Slice 64/155 | Image size 240x240 | Axial plane
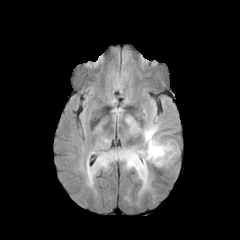
FLAIR MR.
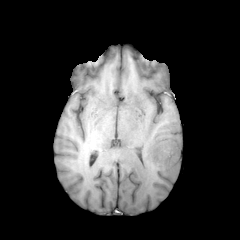
T1-weighted MR image.
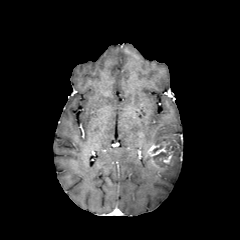
Same slice, post-contrast T1-weighted MR.
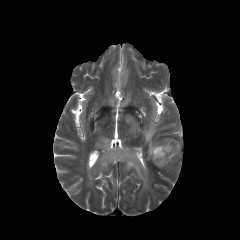
T2-weighted magnetic resonance.
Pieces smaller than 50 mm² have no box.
Annotated regions:
* necrotic tumor core: (153, 144, 173, 166)
* peritumoral edema: (87, 122, 180, 195)
* enhancing tumor: (146, 141, 174, 168)